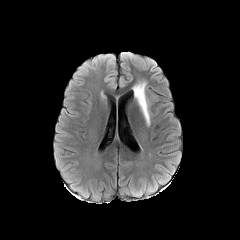
FLAIR MRI.
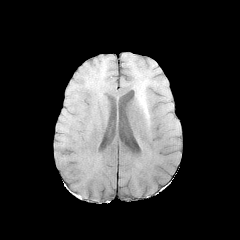
T1-weighted magnetic resonance.
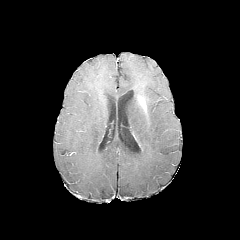
Same slice, post-contrast T1-weighted MR image.
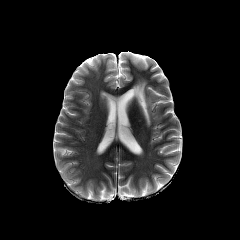
T2-weighted MR of the same slice.
Image size 240x240 | Brain | Axial view
Segmented structures:
• enhancing tumor: 138:96:146:112
• peritumoral edema: 133:82:150:125